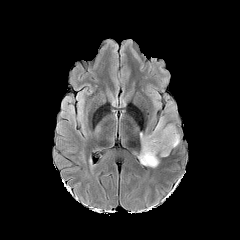
FLAIR MR image.
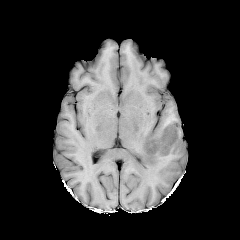
Same slice, T1-weighted MR image.
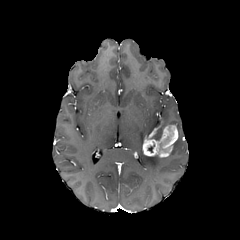
Post-contrast T1-weighted magnetic resonance of the same slice.
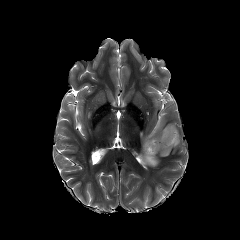
T2-weighted MR image of the same slice.
Image size 240x240
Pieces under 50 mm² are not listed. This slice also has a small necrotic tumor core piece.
The 2 largest peritumoral edema regions are bounded by 139,150,159,167; 151,118,164,140. The enhancing tumor appears at 142,125,178,157.